240x240
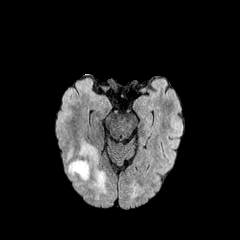
FLAIR MR image.
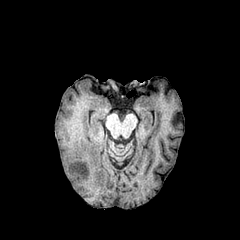
Same slice, T1-weighted MR image.
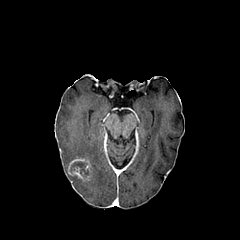
Post-contrast T1-weighted MR image of the same slice.
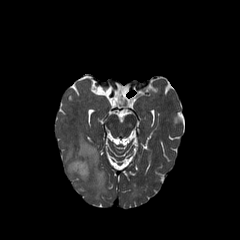
T2-weighted MRI of the same slice.
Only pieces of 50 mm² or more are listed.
- enhancing tumor: rect(68, 158, 90, 180)
- peritumoral edema: rect(65, 148, 89, 187); rect(77, 138, 106, 196)
- necrotic tumor core: rect(72, 162, 85, 174)